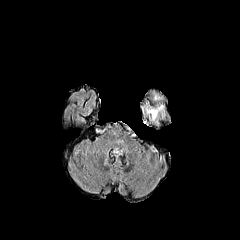
FLAIR MRI.
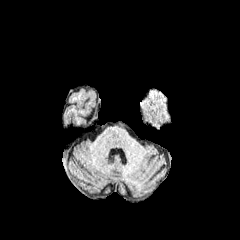
Same slice, T1-weighted magnetic resonance.
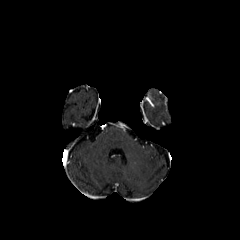
Post-contrast T1-weighted MRI of the same slice.
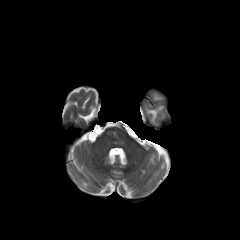
T2-weighted magnetic resonance.
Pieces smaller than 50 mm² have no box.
Findings:
* peritumoral edema: (left=146, top=105, right=163, bottom=120)